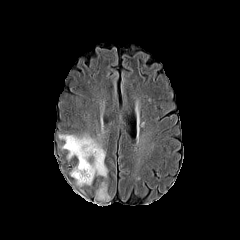
FLAIR magnetic resonance.
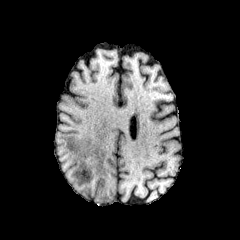
T1-weighted MRI.
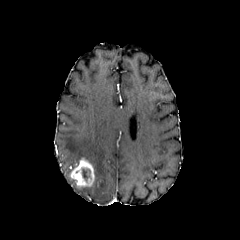
Post-contrast T1-weighted MRI.
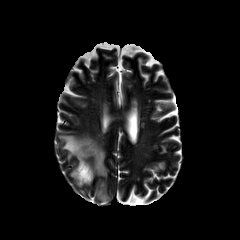
Same slice, T2-weighted MR.
240x240; Axial plane
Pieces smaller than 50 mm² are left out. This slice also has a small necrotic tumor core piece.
enhancing tumor: rect(70, 157, 95, 187) | peritumoral edema: rect(96, 182, 110, 201); rect(59, 134, 108, 177)